FLAIR MR.
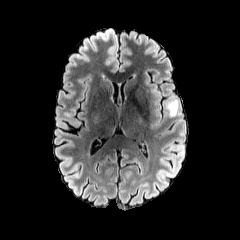
T1-weighted MRI.
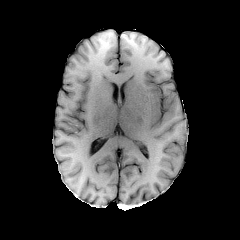
Post-contrast T1-weighted MR.
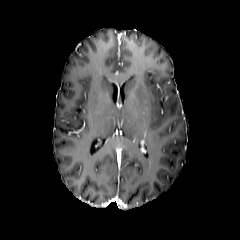
T2-weighted MR image.
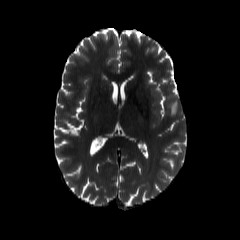
Head
The peritumoral edema is bounded by 166, 97, 178, 116.